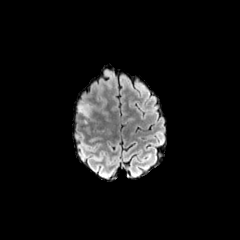
FLAIR MRI.
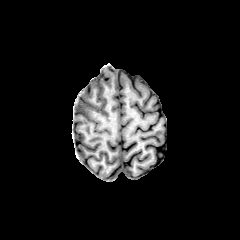
T1-weighted MRI.
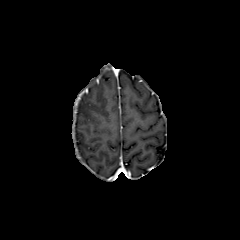
Post-contrast T1-weighted MR.
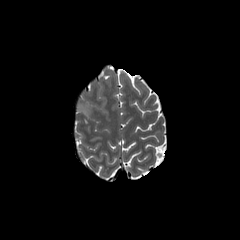
Same slice, T2-weighted MRI.
Axial slice | Brain
peritumoral edema: x1=78, y1=101, x2=89, y2=115